FLAIR MR image.
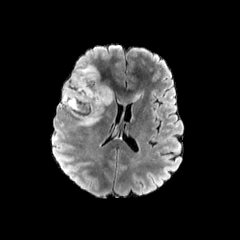
T1-weighted magnetic resonance.
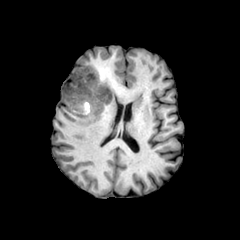
Post-contrast T1-weighted MRI.
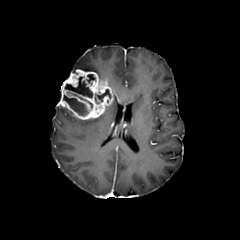
T2-weighted MRI.
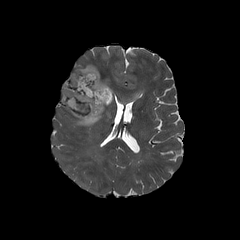
Brain
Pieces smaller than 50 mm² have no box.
necrotic tumor core: <box>65,77,92,97</box>, <box>63,95,88,115</box>, <box>95,89,110,101</box>
peritumoral edema: <box>73,58,99,76</box>, <box>132,90,143,101</box>, <box>76,115,101,126</box>
enhancing tumor: <box>58,69,114,120</box>